Brain. 240x240. Axial view.
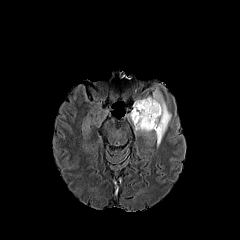
FLAIR MR.
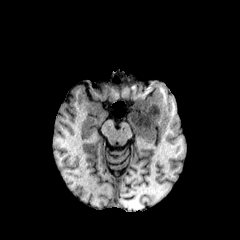
T1-weighted magnetic resonance of the same slice.
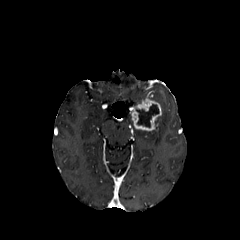
Post-contrast T1-weighted MR.
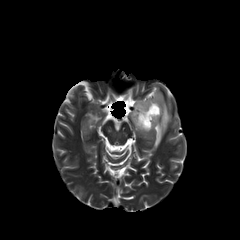
T2-weighted MRI.
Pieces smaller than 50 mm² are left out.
{"necrotic_tumor_core": ["bbox(136, 104, 159, 127)"], "peritumoral_edema": ["bbox(134, 87, 171, 146)"], "enhancing_tumor": ["bbox(131, 98, 161, 131)"]}